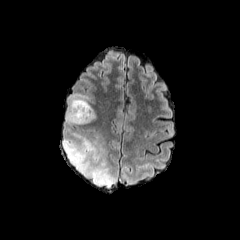
FLAIR MRI.
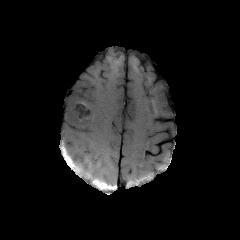
T1-weighted MR of the same slice.
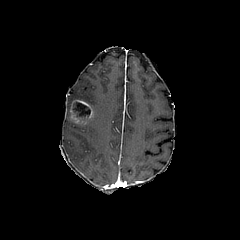
Same slice, post-contrast T1-weighted MR image.
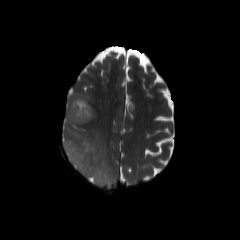
Same slice, T2-weighted MRI.
enhancing tumor = (x1=69, y1=99, x2=93, y2=123)
peritumoral edema = (x1=66, y1=94, x2=97, y2=125), (x1=63, y1=131, x2=116, y2=187)
necrotic tumor core = (x1=72, y1=101, x2=90, y2=118)